Image size 240x240; Axial view; Head; Slice 75 of 155
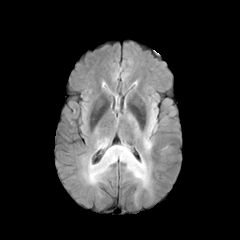
FLAIR MRI.
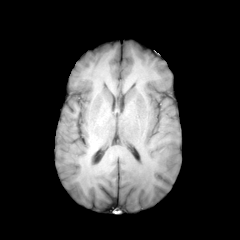
T1-weighted MRI of the same slice.
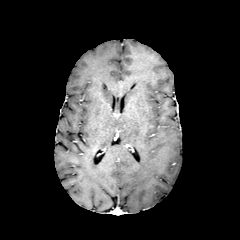
Same slice, post-contrast T1-weighted magnetic resonance.
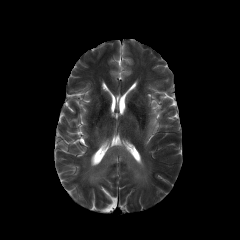
Same slice, T2-weighted MR.
peritumoral edema = <bbox>144, 112, 156, 150</bbox>, <bbox>98, 138, 109, 148</bbox>, <bbox>85, 143, 150, 188</bbox>